Head | Slice 32/155 | 240x240 | Axial plane
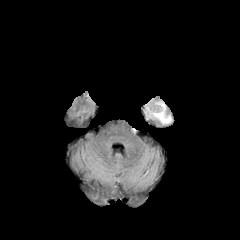
FLAIR MRI.
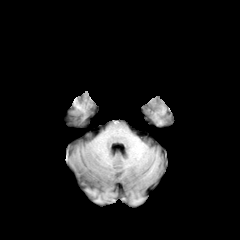
Same slice, T1-weighted MRI.
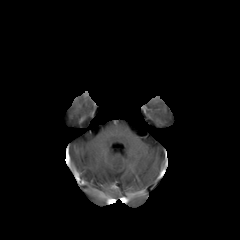
Same slice, post-contrast T1-weighted magnetic resonance.
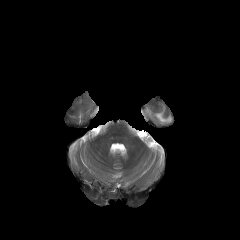
T2-weighted magnetic resonance of the same slice.
peritumoral_edema:
  - 146 103 171 123